Slice 82 of 155, Brain
FLAIR MR.
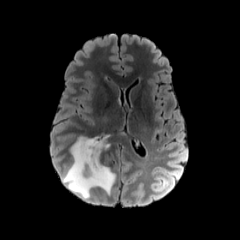
T1-weighted MRI.
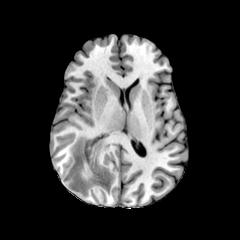
Post-contrast T1-weighted magnetic resonance.
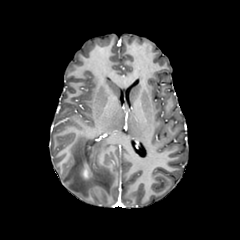
T2-weighted MRI.
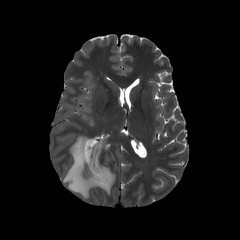
enhancing tumor: bounding box (82, 167, 89, 178)
peritumoral edema: bounding box (63, 133, 115, 199)